Head
FLAIR MR image.
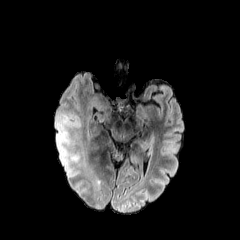
T1-weighted MRI.
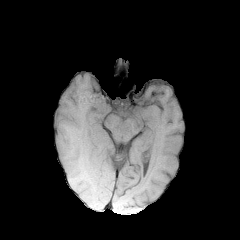
Post-contrast T1-weighted MRI.
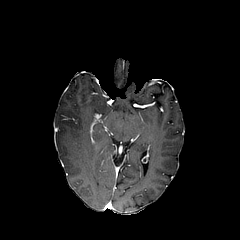
T2-weighted MR image.
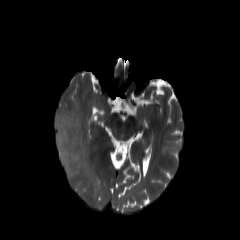
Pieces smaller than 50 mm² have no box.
{
  "peritumoral_edema": [
    "box(56, 111, 92, 177)",
    "box(92, 101, 102, 110)"
  ]
}